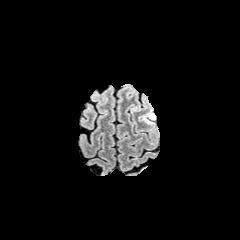
FLAIR MRI.
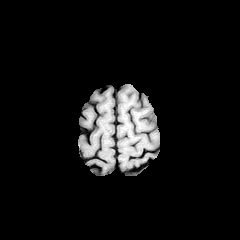
T1-weighted MR image of the same slice.
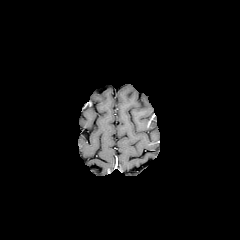
Same slice, post-contrast T1-weighted MR image.
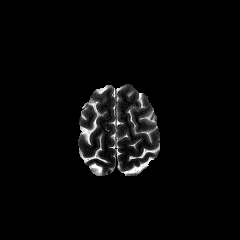
T2-weighted MR image.
Brain
<segmentation>
  <peritumoral_edema>150,116,156,130; 139,107,154,124</peritumoral_edema>
</segmentation>